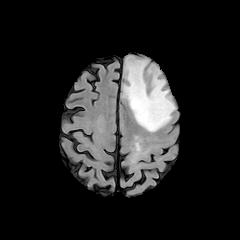
FLAIR magnetic resonance.
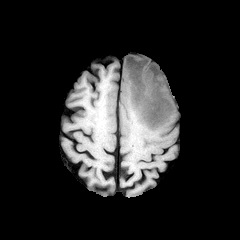
T1-weighted magnetic resonance.
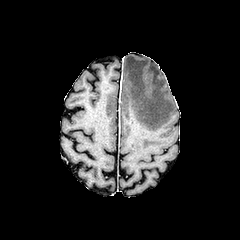
Post-contrast T1-weighted MRI of the same slice.
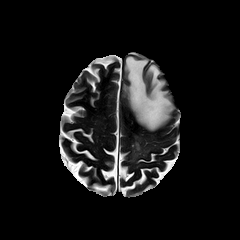
T2-weighted MR image.
Head.
The peritumoral edema is located at left=123, top=56, right=175, bottom=131.